FLAIR magnetic resonance.
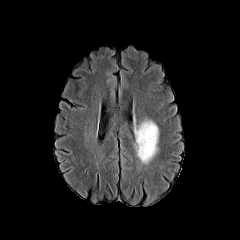
T1-weighted MR image.
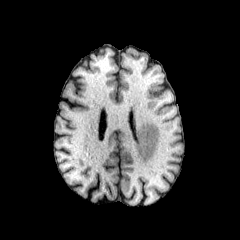
Post-contrast T1-weighted magnetic resonance.
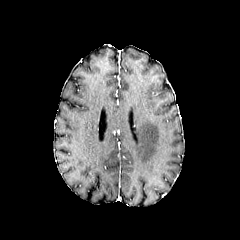
T2-weighted MRI.
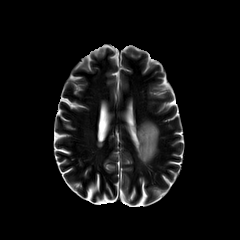
Image size 240x240
peritumoral edema — 135, 120, 158, 163